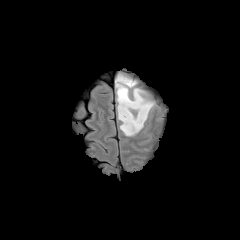
FLAIR MR image.
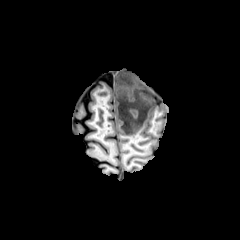
T1-weighted MRI.
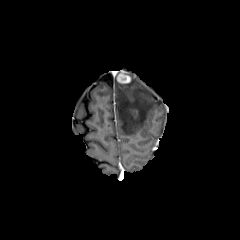
Post-contrast T1-weighted magnetic resonance of the same slice.
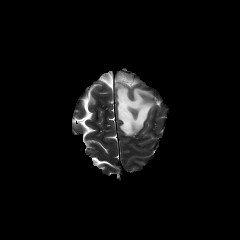
T2-weighted MR image.
Head; 240x240 px
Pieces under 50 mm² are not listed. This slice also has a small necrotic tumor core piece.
enhancing tumor: 117, 73, 130, 83
peritumoral edema: 115, 78, 155, 136